240x240 px | Head | Axial plane
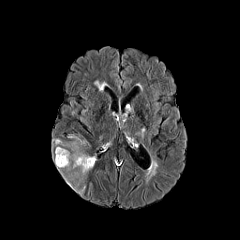
FLAIR MR.
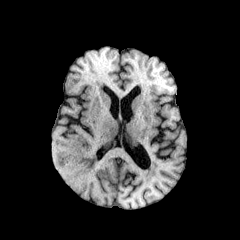
T1-weighted MR image of the same slice.
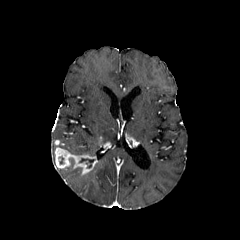
Post-contrast T1-weighted magnetic resonance.
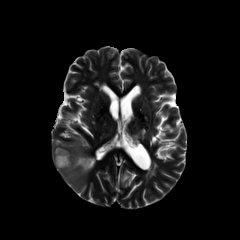
T2-weighted MR image.
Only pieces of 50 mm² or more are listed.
enhancing tumor — (x1=55, y1=147, x2=97, y2=175)
peritumoral edema — (x1=58, y1=168, x2=86, y2=192), (x1=65, y1=135, x2=87, y2=154), (x1=53, y1=139, x2=66, y2=149)
necrotic tumor core — (x1=79, y1=158, x2=94, y2=167)